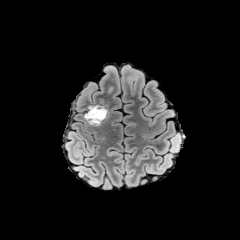
FLAIR MR.
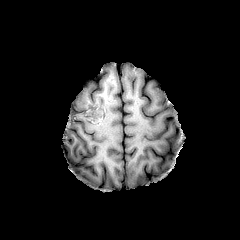
Same slice, T1-weighted MR.
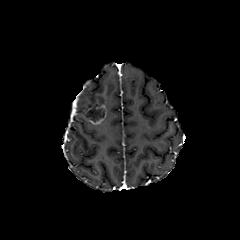
Post-contrast T1-weighted MR.
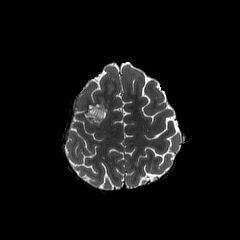
T2-weighted MR of the same slice.
Axial slice, Brain, 240x240
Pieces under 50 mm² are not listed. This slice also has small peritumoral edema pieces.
necrotic tumor core: bbox=[86, 108, 104, 121] | enhancing tumor: bbox=[84, 105, 106, 124]